FLAIR MRI.
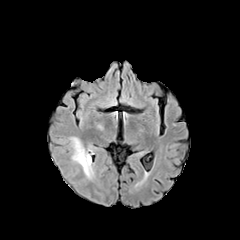
T1-weighted MR image.
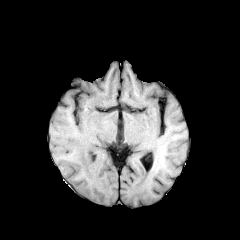
Post-contrast T1-weighted MR.
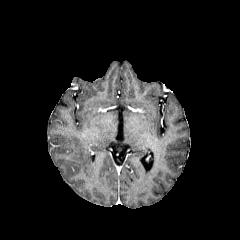
T2-weighted MRI.
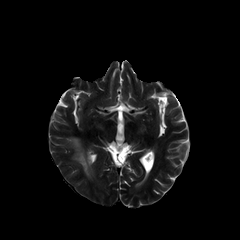
The peritumoral edema is located at box=[70, 137, 93, 178].